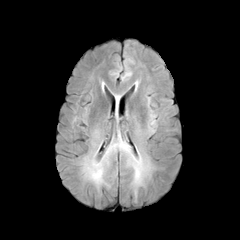
FLAIR magnetic resonance.
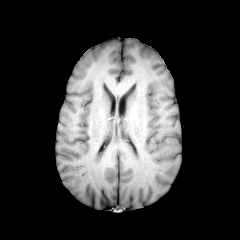
T1-weighted MR.
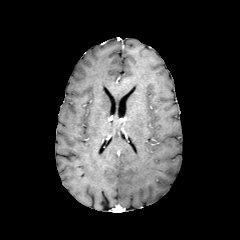
Post-contrast T1-weighted magnetic resonance.
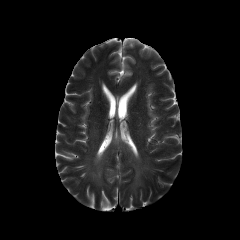
T2-weighted magnetic resonance of the same slice.
Brain.
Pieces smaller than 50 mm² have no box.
peritumoral edema = 86:161:103:183, 112:136:150:193